FLAIR MRI.
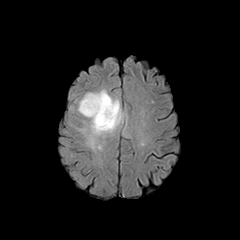
T1-weighted MR.
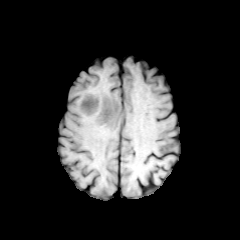
Post-contrast T1-weighted MR image.
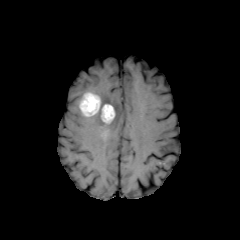
T2-weighted MR.
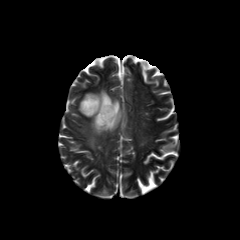
Axial slice | Head | Image size 240x240
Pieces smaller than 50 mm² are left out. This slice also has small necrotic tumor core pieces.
Findings:
• enhancing tumor: bbox=[79, 93, 115, 123]
• peritumoral edema: bbox=[86, 89, 124, 149]